Slice 48/155, Image covers 240 mm x 240 mm
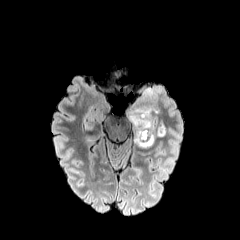
FLAIR MR image.
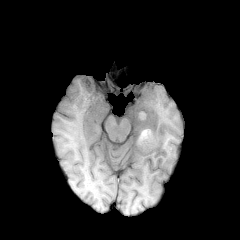
T1-weighted MR.
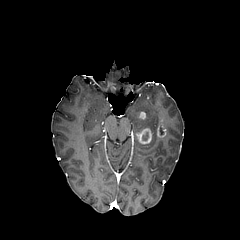
Post-contrast T1-weighted MR image.
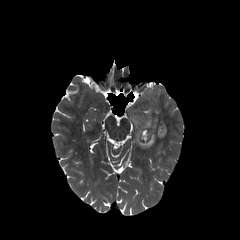
T2-weighted MRI of the same slice.
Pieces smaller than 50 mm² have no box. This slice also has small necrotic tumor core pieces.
The 2 largest enhancing tumor regions appear at (157, 125, 166, 137), (136, 129, 152, 144). The peritumoral edema is at (129, 108, 155, 147).